Image width 240 mm | Brain
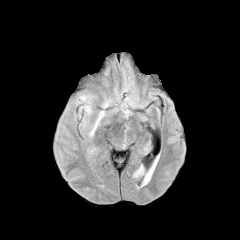
FLAIR magnetic resonance.
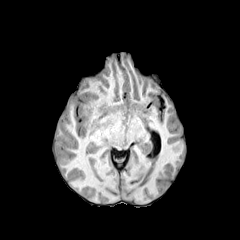
T1-weighted MR.
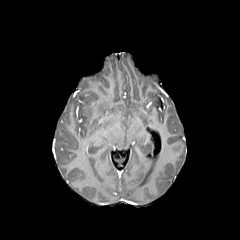
Post-contrast T1-weighted magnetic resonance of the same slice.
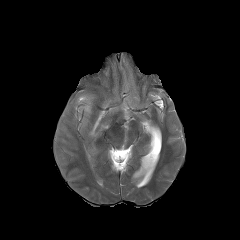
T2-weighted MR image.
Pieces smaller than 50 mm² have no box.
{
  "peritumoral_edema": [
    "90 111 103 135"
  ]
}